FLAIR MR.
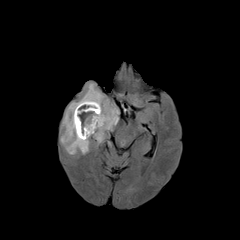
T1-weighted magnetic resonance.
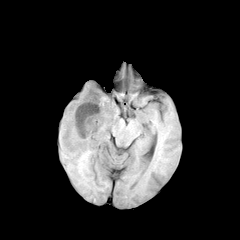
Post-contrast T1-weighted MR image.
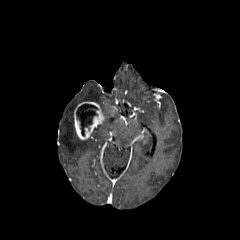
T2-weighted MR image.
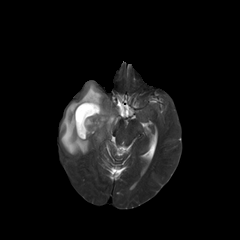
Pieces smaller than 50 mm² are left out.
enhancing_tumor:
  - bbox(74, 101, 105, 139)
necrotic_tumor_core:
  - bbox(76, 104, 97, 136)
peritumoral_edema:
  - bbox(60, 82, 118, 154)